FLAIR magnetic resonance.
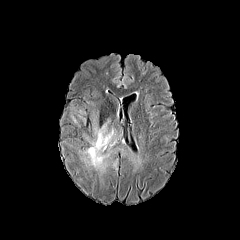
T1-weighted magnetic resonance.
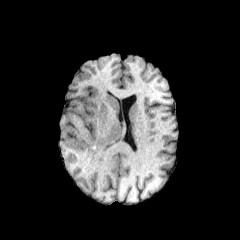
Post-contrast T1-weighted MR image.
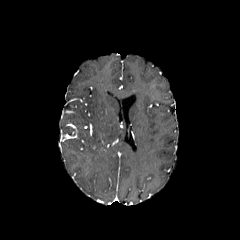
T2-weighted MR.
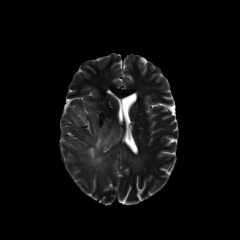
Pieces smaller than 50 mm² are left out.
peritumoral edema: bbox=[81, 120, 115, 172]